FLAIR MR image.
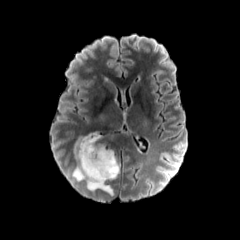
T1-weighted MR.
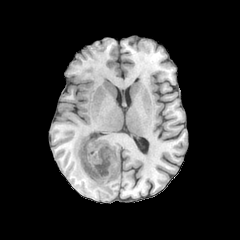
Post-contrast T1-weighted MR image.
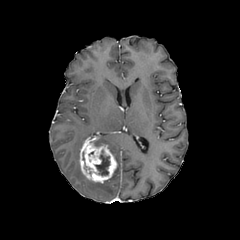
T2-weighted magnetic resonance.
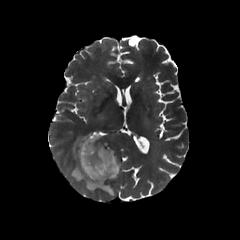
Head, Axial plane
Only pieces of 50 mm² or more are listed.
{"peritumoral_edema": ["region(108, 161, 119, 179)", "region(72, 134, 113, 195)"], "enhancing_tumor": ["region(79, 136, 117, 183)"], "necrotic_tumor_core": ["region(95, 150, 110, 175)"]}